Head. 240x240. Image width 240 mm, 1.00 mm slice spacing.
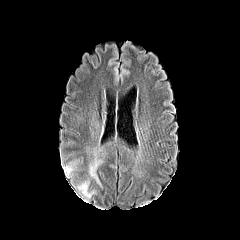
FLAIR MR image.
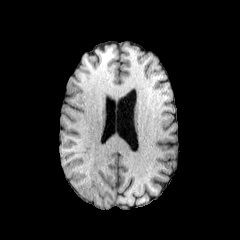
T1-weighted magnetic resonance.
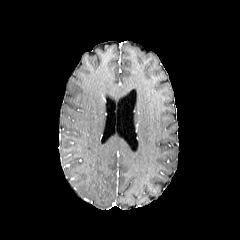
Same slice, post-contrast T1-weighted MR.
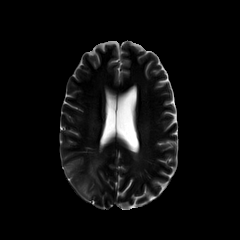
T2-weighted MR of the same slice.
Annotated regions:
* peritumoral edema: [89,160,99,183], [64,167,72,175], [78,181,94,198]